Brain. Image covers 240 mm x 240 mm.
FLAIR MRI.
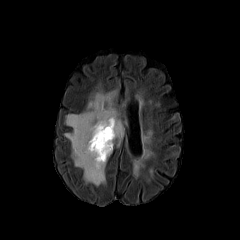
T1-weighted MR.
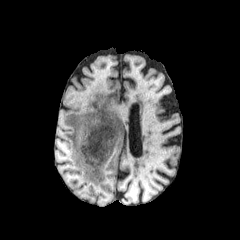
Post-contrast T1-weighted MR.
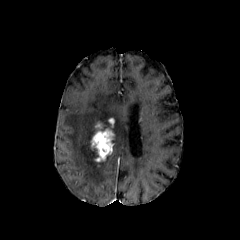
T2-weighted magnetic resonance.
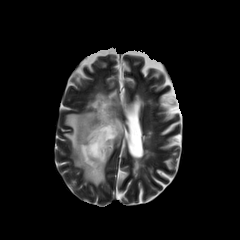
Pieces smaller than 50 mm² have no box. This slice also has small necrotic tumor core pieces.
<segmentation>
  <enhancing_tumor>(90,118,114,162)</enhancing_tumor>
  <peritumoral_edema>(64,91,124,186)</peritumoral_edema>
</segmentation>